FLAIR MR.
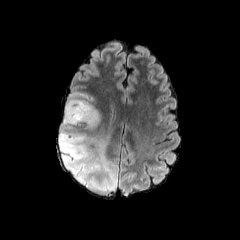
T1-weighted magnetic resonance.
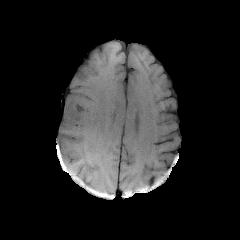
Post-contrast T1-weighted MR image.
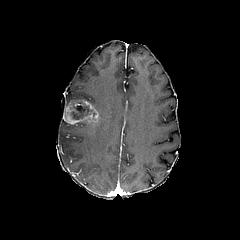
T2-weighted magnetic resonance.
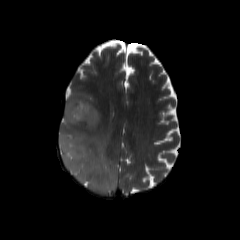
Head, Axial view, Image size 240x240
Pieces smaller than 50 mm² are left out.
• necrotic tumor core: (71, 105, 92, 119)
• enhancing tumor: (63, 99, 98, 124)
• peritumoral edema: (59, 120, 118, 195), (66, 92, 101, 127)